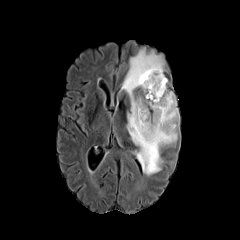
FLAIR magnetic resonance.
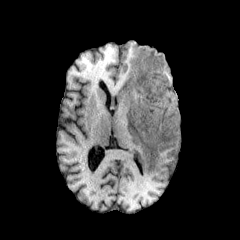
T1-weighted magnetic resonance.
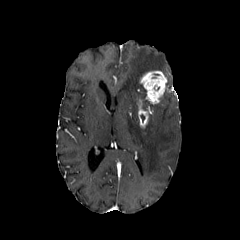
Post-contrast T1-weighted MR image.
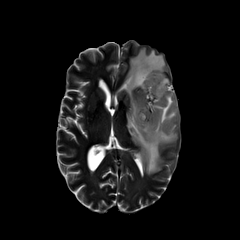
Same slice, T2-weighted MR image.
240x240 px | Brain
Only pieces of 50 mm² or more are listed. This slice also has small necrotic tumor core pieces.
{
  "enhancing_tumor": [
    "bbox=[137, 99, 150, 128]",
    "bbox=[139, 70, 167, 104]"
  ],
  "peritumoral_edema": [
    "bbox=[121, 48, 179, 175]"
  ]
}